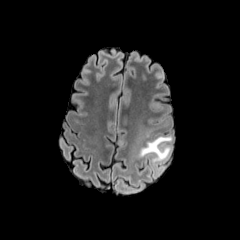
FLAIR MR image.
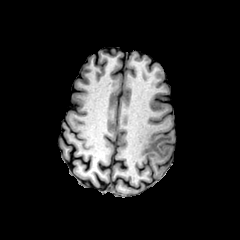
T1-weighted magnetic resonance.
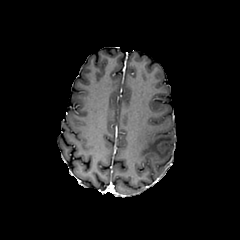
Post-contrast T1-weighted MR.
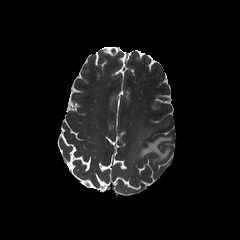
T2-weighted magnetic resonance.
Brain
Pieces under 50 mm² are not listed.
peritumoral edema: 139 136 172 163